FLAIR magnetic resonance.
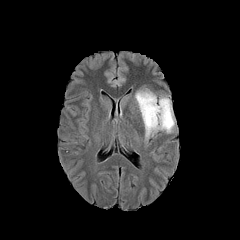
T1-weighted MRI.
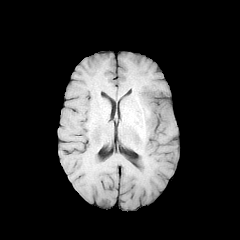
Post-contrast T1-weighted MR image.
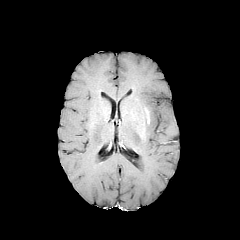
T2-weighted MR.
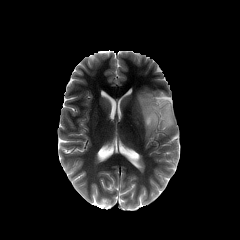
Brain | 240x240
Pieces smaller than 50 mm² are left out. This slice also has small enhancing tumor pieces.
peritumoral edema: bounding box 135, 91, 174, 138